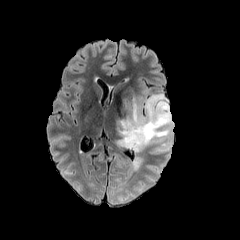
FLAIR MRI.
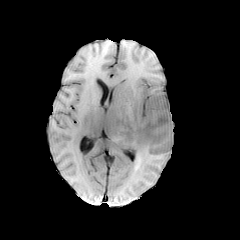
T1-weighted magnetic resonance of the same slice.
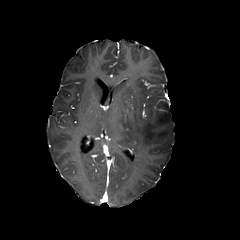
Same slice, post-contrast T1-weighted MR.
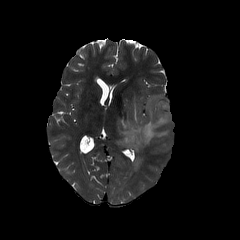
T2-weighted MR of the same slice.
Head; Axial plane
<segmentation>
  <peritumoral_edema>116,93,173,153; 132,158,142,170</peritumoral_edema>
</segmentation>